Image width 240 mm | 240x240 px | Brain | Axial plane | Slice index 61
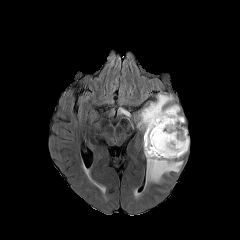
FLAIR MRI.
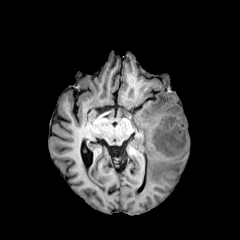
T1-weighted MR.
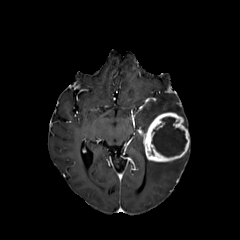
Post-contrast T1-weighted MRI.
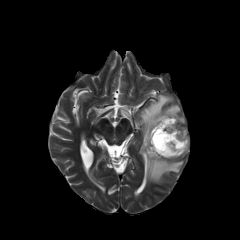
T2-weighted MR image of the same slice.
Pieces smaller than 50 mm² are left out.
enhancing tumor: bounding box [143,112,189,162]
necrotic tumor core: bounding box [152,117,186,156]
peritumoral edema: bounding box [147,159,183,182], [137,94,180,132]